FLAIR magnetic resonance.
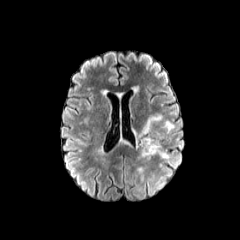
T1-weighted MR.
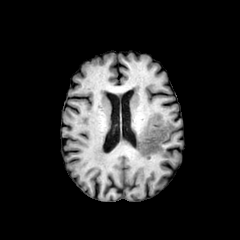
Post-contrast T1-weighted MR image.
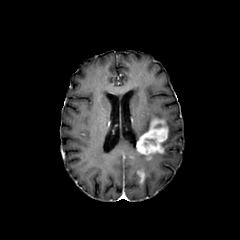
T2-weighted MR image.
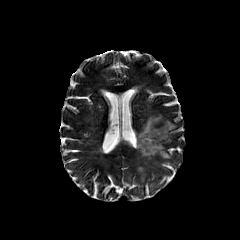
Brain, Axial view
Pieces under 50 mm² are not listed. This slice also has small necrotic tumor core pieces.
{
  "enhancing_tumor": [
    "[x1=136, y1=117, x2=168, y2=159]",
    "[x1=137, y1=169, x2=144, y2=182]"
  ],
  "peritumoral_edema": [
    "[x1=151, y1=150, x2=171, y2=159]",
    "[x1=165, y1=120, x2=175, y2=136]",
    "[x1=134, y1=114, x2=162, y2=143]"
  ]
}